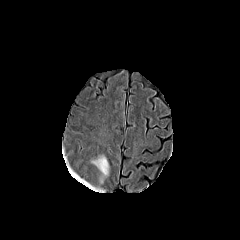
FLAIR MR.
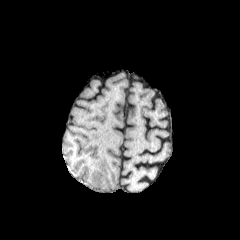
T1-weighted MR image.
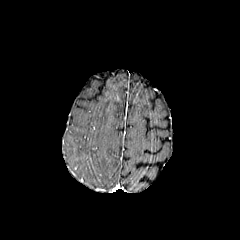
Same slice, post-contrast T1-weighted magnetic resonance.
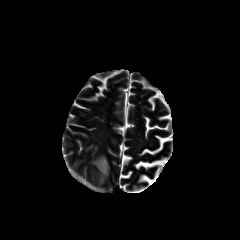
Same slice, T2-weighted magnetic resonance.
Head
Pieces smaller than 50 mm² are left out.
peritumoral edema — bbox=[92, 156, 109, 176]